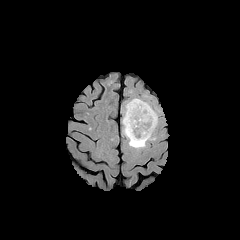
FLAIR MR.
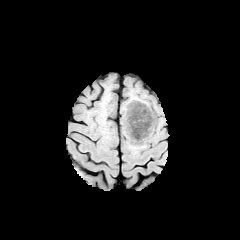
T1-weighted MR image.
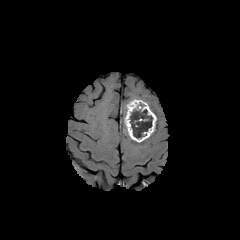
Post-contrast T1-weighted magnetic resonance of the same slice.
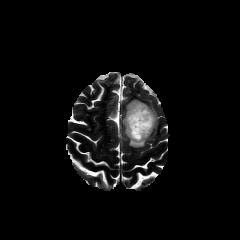
T2-weighted MR image.
Head, Axial plane
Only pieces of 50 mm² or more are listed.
peritumoral edema: (122,101,155,148), (147,103,158,127)
enhancing tumor: (124,99,156,142)
necrotic tumor core: (130,109,151,138)